FLAIR magnetic resonance.
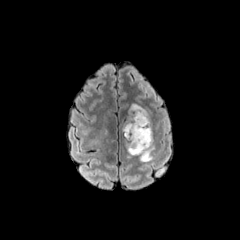
T1-weighted magnetic resonance.
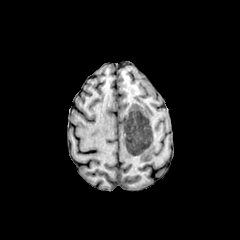
Post-contrast T1-weighted magnetic resonance.
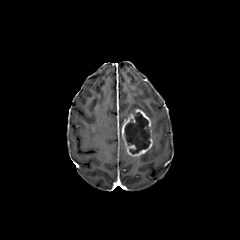
T2-weighted MR image.
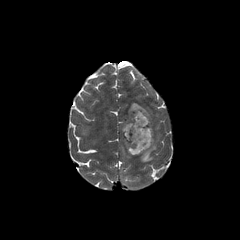
Image size 240x240. Head. Axial view.
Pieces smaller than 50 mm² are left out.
The necrotic tumor core lies within bbox(124, 112, 150, 153). The enhancing tumor is bounded by bbox(121, 108, 152, 156). The 2 largest peritumoral edema regions are located at bbox(128, 103, 150, 118); bbox(139, 137, 155, 162).